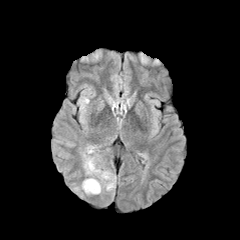
FLAIR MRI.
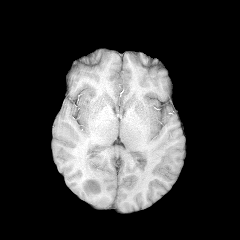
T1-weighted magnetic resonance.
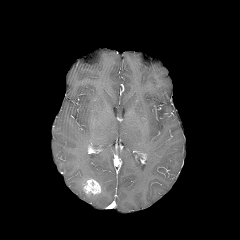
Post-contrast T1-weighted MRI.
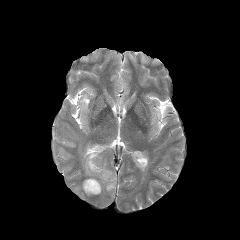
T2-weighted MR image.
Head. Axial view.
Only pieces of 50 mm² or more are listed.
Annotated regions:
• peritumoral edema: left=74, top=145, right=116, bottom=197
• enhancing tumor: left=83, top=179, right=101, bottom=194